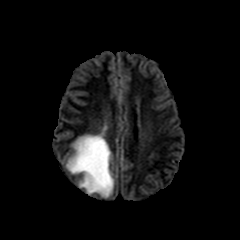
FLAIR MRI.
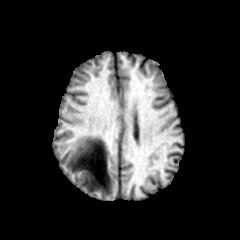
T1-weighted MR of the same slice.
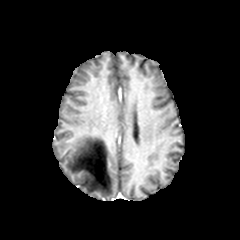
Post-contrast T1-weighted MR image of the same slice.
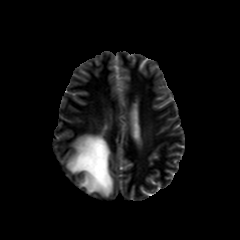
T2-weighted MR.
• peritumoral edema: [66, 125, 114, 197]